Image width 240 mm, 1.00 mm slice spacing, 240x240 px, Slice 101 of 155, Head
FLAIR MRI.
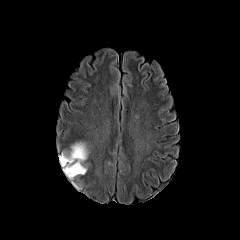
T1-weighted MRI.
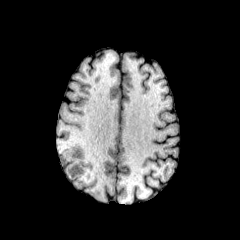
Post-contrast T1-weighted MR image.
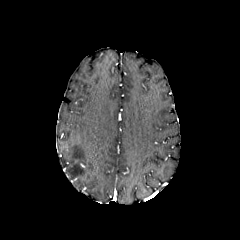
T2-weighted MR.
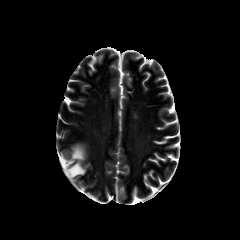
peritumoral_edema:
  - bbox=[59, 143, 87, 178]